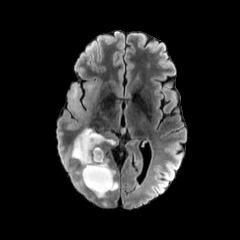
FLAIR MRI.
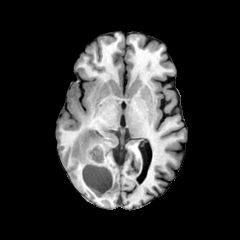
T1-weighted MR of the same slice.
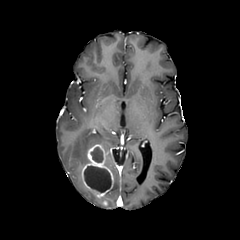
Same slice, post-contrast T1-weighted magnetic resonance.
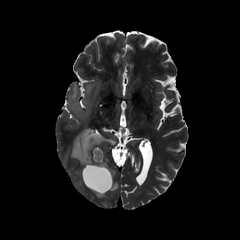
T2-weighted MRI of the same slice.
Head; 240x240 px
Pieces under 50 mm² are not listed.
enhancing_tumor:
  - [81, 144, 113, 198]
necrotic_tumor_core:
  - [84, 166, 111, 192]
  - [91, 147, 103, 162]
peritumoral_edema:
  - [68, 79, 100, 125]
  - [71, 128, 115, 166]
  - [109, 180, 118, 191]